Axial plane. Brain. 240x240.
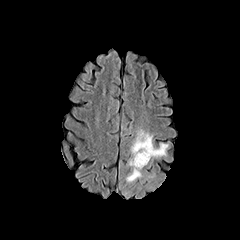
FLAIR MRI.
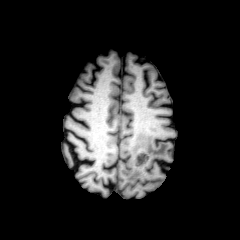
T1-weighted MRI.
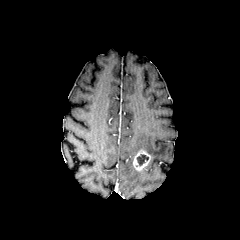
Post-contrast T1-weighted MRI.
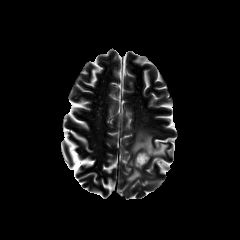
T2-weighted MR.
necrotic tumor core: 137,155,148,165 | enhancing tumor: 133,150,150,171 | peritumoral edema: 126,130,169,183